Axial slice
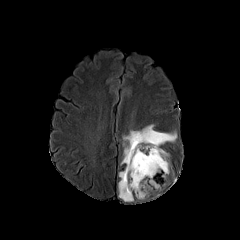
FLAIR MR image.
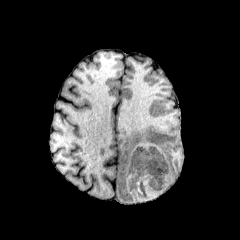
Same slice, T1-weighted MR image.
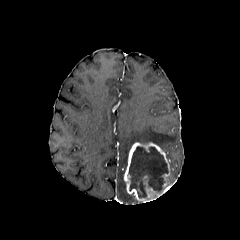
Same slice, post-contrast T1-weighted MR image.
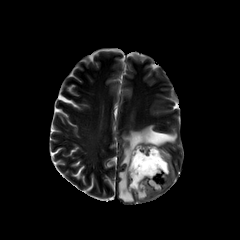
T2-weighted MRI.
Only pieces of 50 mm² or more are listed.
peritumoral edema: [118, 171, 133, 202], [121, 124, 177, 164]
necrotic tumor core: [129, 146, 168, 197]
enhancing tumor: [123, 142, 171, 201]